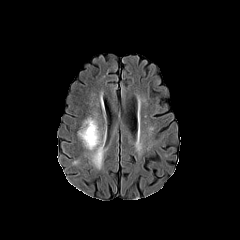
FLAIR magnetic resonance.
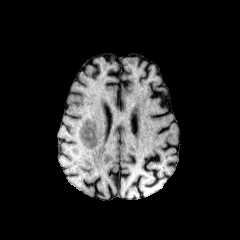
Same slice, T1-weighted MR.
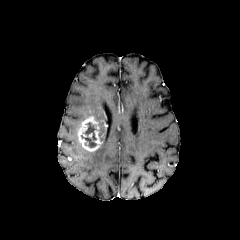
Post-contrast T1-weighted MR image of the same slice.
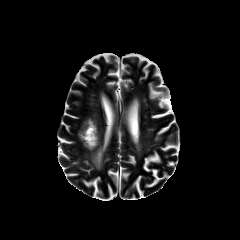
T2-weighted MRI of the same slice.
Axial view
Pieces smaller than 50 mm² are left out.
enhancing tumor at 78, 116, 99, 151
necrotic tumor core at 81, 122, 96, 147
peritumoral edema at 90, 137, 103, 168